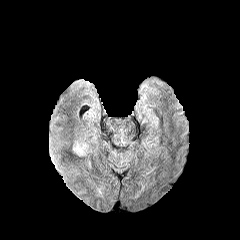
FLAIR magnetic resonance.
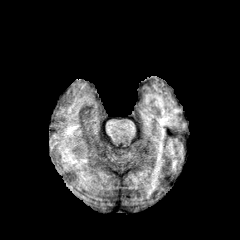
T1-weighted magnetic resonance.
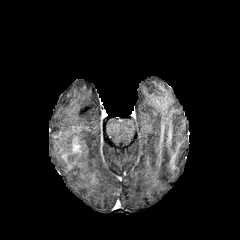
Same slice, post-contrast T1-weighted magnetic resonance.
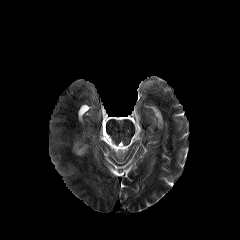
T2-weighted MR image of the same slice.
240x240
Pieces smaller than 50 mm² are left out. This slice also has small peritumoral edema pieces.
enhancing tumor: <bbox>73, 142, 82, 153</bbox>